Slice index 78, Brain, Axial slice
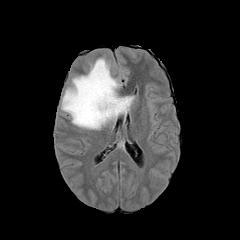
FLAIR magnetic resonance.
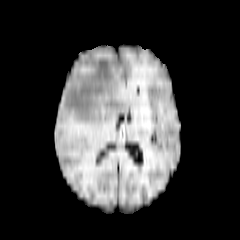
T1-weighted MRI.
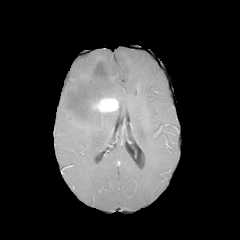
Post-contrast T1-weighted MR image.
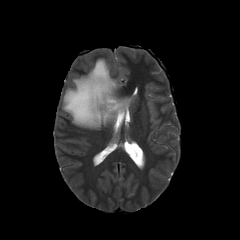
T2-weighted magnetic resonance.
enhancing tumor: <bbox>91, 96, 119, 113</bbox> | peritumoral edema: <bbox>61, 58, 134, 129</bbox>